FLAIR magnetic resonance.
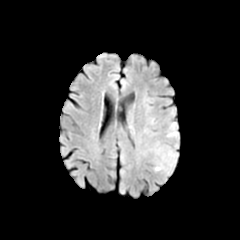
T1-weighted MRI.
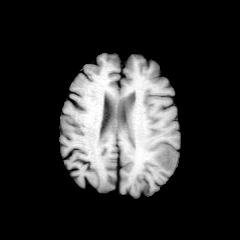
Post-contrast T1-weighted MRI.
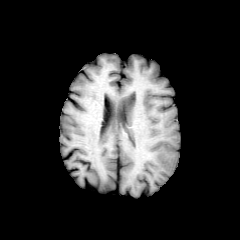
T2-weighted MRI.
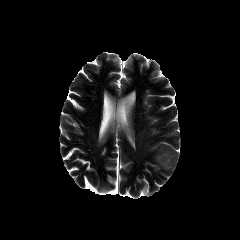
Head
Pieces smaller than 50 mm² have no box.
Annotated regions:
- peritumoral edema: 155:148:177:170